FLAIR magnetic resonance.
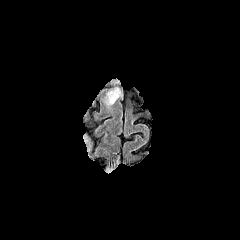
T1-weighted MR.
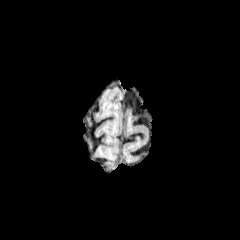
Post-contrast T1-weighted MR image.
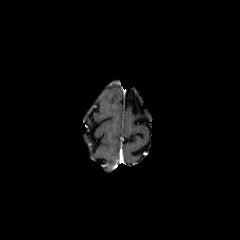
T2-weighted MR.
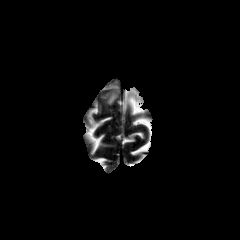
Brain. Axial view.
peritumoral edema: 106 87 120 104